Brain | Slice 134/155 | Image width 240 mm | 240x240 px
FLAIR MR.
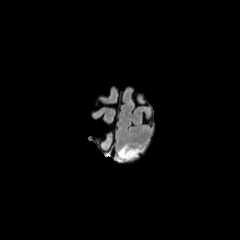
T1-weighted MR.
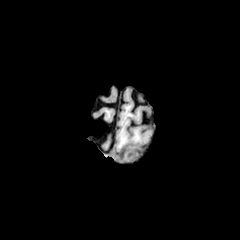
Post-contrast T1-weighted magnetic resonance.
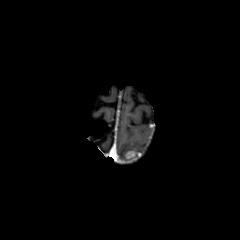
T2-weighted MR.
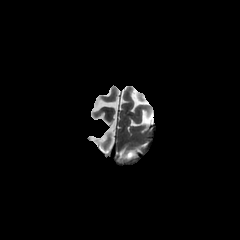
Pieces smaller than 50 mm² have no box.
<segmentation>
  <peritumoral_edema>[118,145,139,159]</peritumoral_edema>
  <enhancing_tumor>[124,150,139,161]</enhancing_tumor>
</segmentation>